FLAIR MR image.
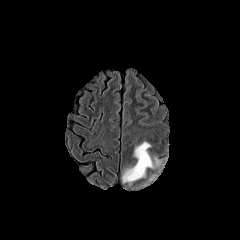
T1-weighted magnetic resonance.
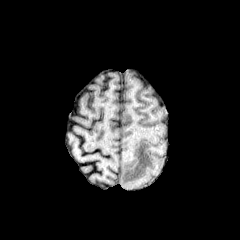
Post-contrast T1-weighted MR.
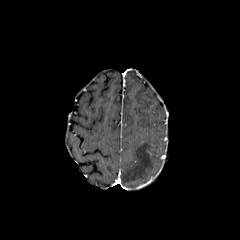
T2-weighted magnetic resonance.
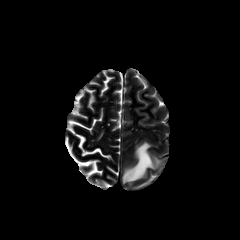
Head
peritumoral edema: rect(122, 142, 160, 183)